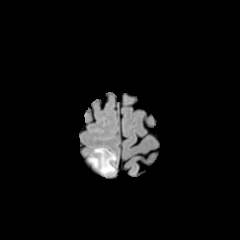
FLAIR MRI.
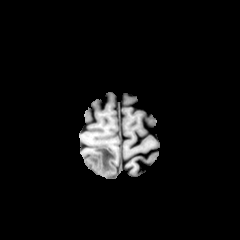
T1-weighted MRI.
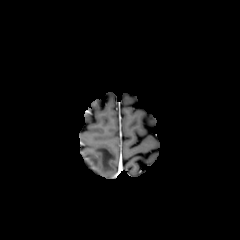
Post-contrast T1-weighted MRI.
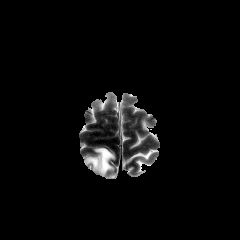
T2-weighted MR.
Head
peritumoral edema: bounding box (89, 148, 114, 173)